FLAIR MR image.
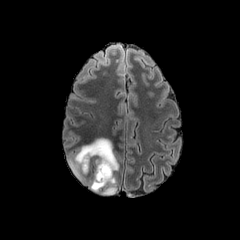
T1-weighted MR image.
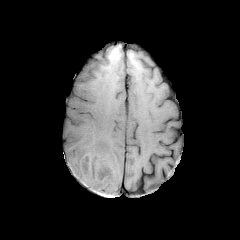
Post-contrast T1-weighted MR image.
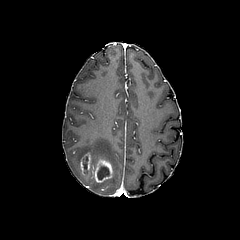
T2-weighted magnetic resonance.
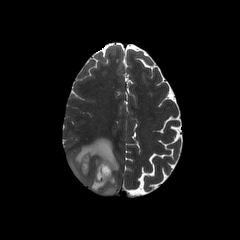
Head.
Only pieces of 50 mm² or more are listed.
necrotic tumor core = <bbox>97, 166, 109, 179</bbox>
peritumoral edema = <bbox>68, 138, 118, 194</bbox>
enhancing tumor = <bbox>80, 153, 113, 183</bbox>